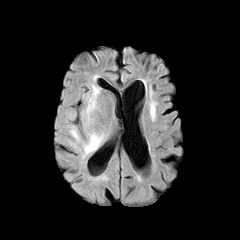
FLAIR MRI.
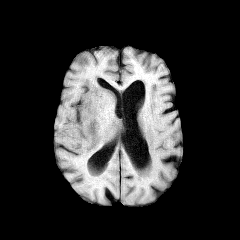
T1-weighted MR image.
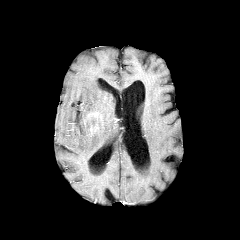
Post-contrast T1-weighted MR image.
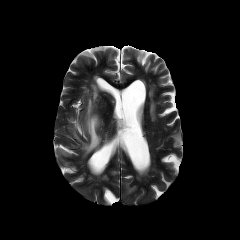
T2-weighted MR.
240x240
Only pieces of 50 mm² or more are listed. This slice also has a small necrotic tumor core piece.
Findings:
* peritumoral edema: bbox(68, 83, 106, 158)
* enhancing tumor: bbox(87, 113, 96, 119); bbox(89, 121, 96, 133)